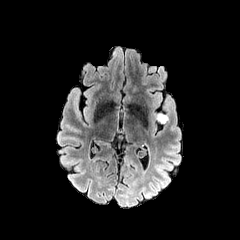
FLAIR MR image.
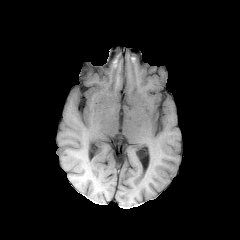
T1-weighted MR.
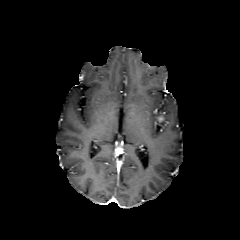
Post-contrast T1-weighted MRI.
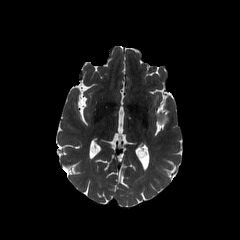
T2-weighted MR.
240x240 | Head
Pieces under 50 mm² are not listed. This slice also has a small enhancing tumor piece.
peritumoral edema at bbox(156, 113, 169, 123)